FLAIR MR image.
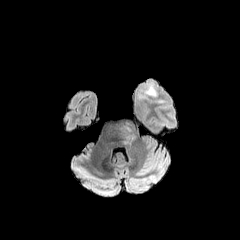
T1-weighted MR.
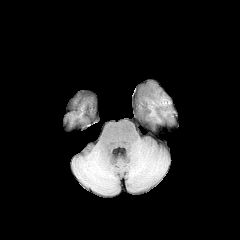
Post-contrast T1-weighted MR.
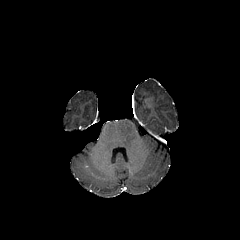
T2-weighted magnetic resonance.
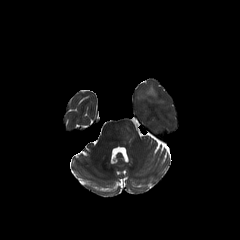
Axial slice, Head, 240x240
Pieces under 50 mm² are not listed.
peritumoral edema = [124, 122, 135, 142], [147, 85, 155, 96]